Brain. Slice 100 of 155.
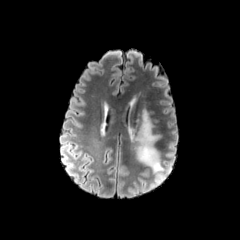
FLAIR MR image.
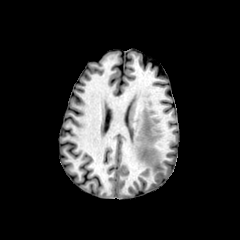
Same slice, T1-weighted MRI.
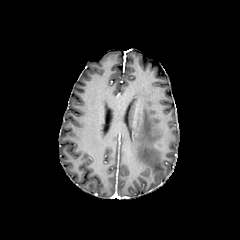
Post-contrast T1-weighted MR image.
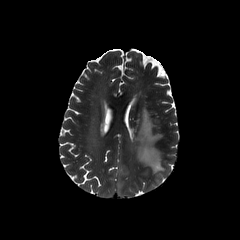
T2-weighted MR image of the same slice.
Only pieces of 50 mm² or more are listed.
peritumoral edema at bbox=[129, 110, 163, 172]